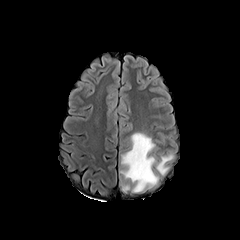
FLAIR MR image.
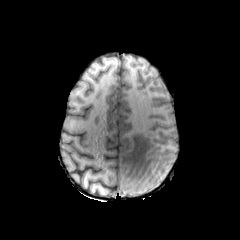
T1-weighted magnetic resonance of the same slice.
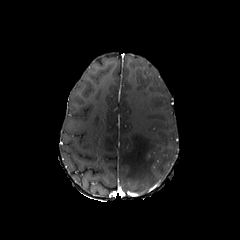
Post-contrast T1-weighted MR.
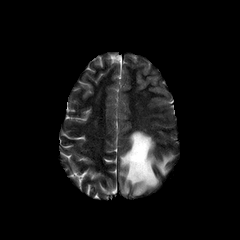
T2-weighted MR image.
Axial slice
peritumoral edema: region(120, 131, 173, 192)